Image size 240x240, Image width 240 mm, Slice index 38
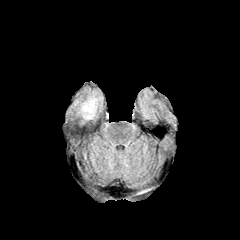
FLAIR MR.
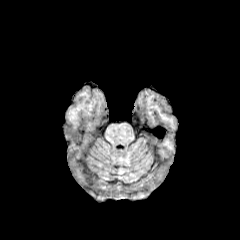
T1-weighted magnetic resonance.
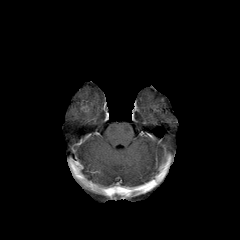
Post-contrast T1-weighted MR.
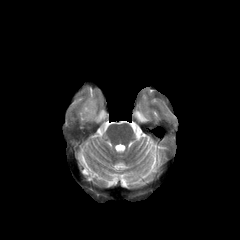
T2-weighted MR image.
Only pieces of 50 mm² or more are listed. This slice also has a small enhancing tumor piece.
Annotated regions:
* peritumoral edema: [74, 91, 102, 120]